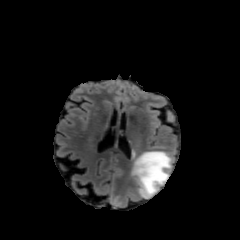
FLAIR MR image.
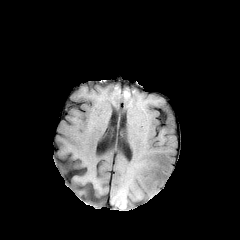
T1-weighted MRI.
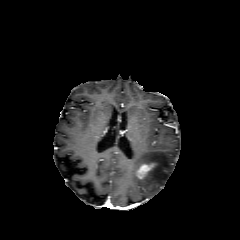
Post-contrast T1-weighted magnetic resonance.
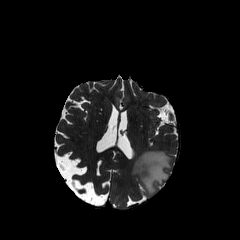
Same slice, T2-weighted magnetic resonance.
Axial slice, Brain
{"enhancing_tumor": ["box(137, 163, 155, 178)"], "peritumoral_edema": ["box(131, 150, 173, 198)"]}